Head
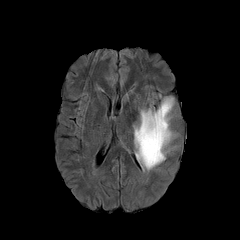
FLAIR MR image.
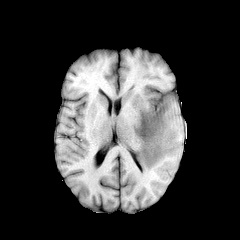
T1-weighted magnetic resonance.
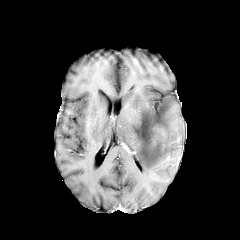
Same slice, post-contrast T1-weighted MR image.
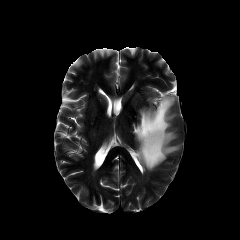
T2-weighted MR image of the same slice.
Findings:
• enhancing tumor: <box>153,127,164,135</box>
• peritumoral edema: <box>133,96,176,170</box>